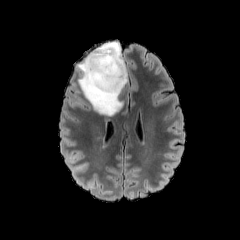
FLAIR magnetic resonance.
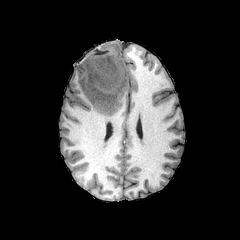
T1-weighted MRI.
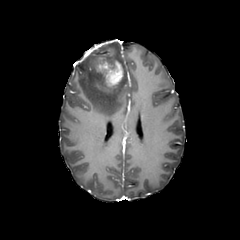
Post-contrast T1-weighted MRI of the same slice.
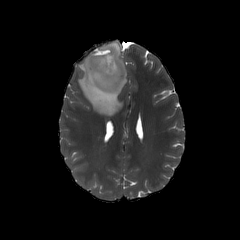
Same slice, T2-weighted MR image.
Brain, 240x240
{"peritumoral_edema": ["(x1=78, y1=41, x2=127, y2=116)"], "enhancing_tumor": ["(x1=96, y1=60, x2=123, y2=87)"]}